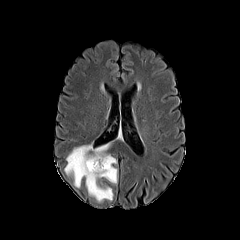
FLAIR MR image.
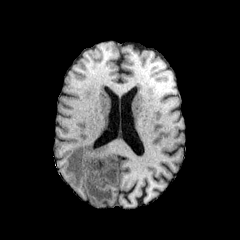
T1-weighted MR image.
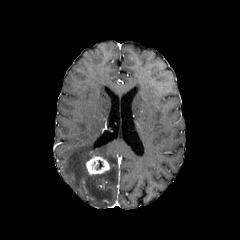
Post-contrast T1-weighted MR image.
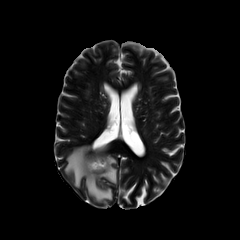
T2-weighted MR image.
240x240 px
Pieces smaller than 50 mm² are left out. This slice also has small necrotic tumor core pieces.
The peritumoral edema is bounded by (64, 142, 117, 202). The enhancing tumor is bounded by (86, 156, 109, 174).